Head | Slice 64 of 155 | Axial slice | 240x240
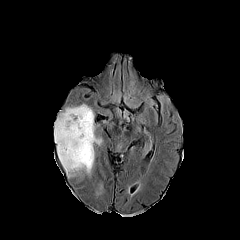
FLAIR MR image.
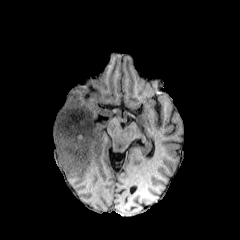
T1-weighted MR image.
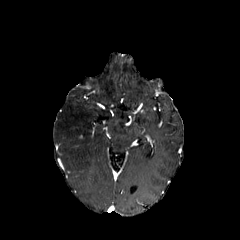
Post-contrast T1-weighted magnetic resonance.
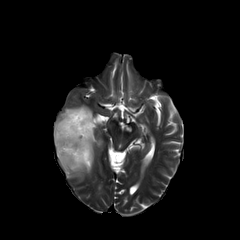
T2-weighted magnetic resonance.
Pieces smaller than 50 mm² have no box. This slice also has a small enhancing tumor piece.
• peritumoral edema: 54:104:101:177